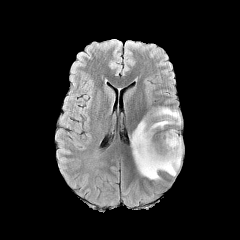
FLAIR MR.
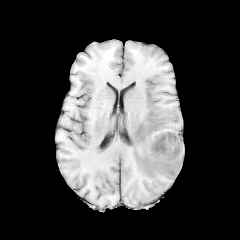
Same slice, T1-weighted magnetic resonance.
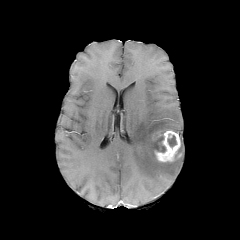
Post-contrast T1-weighted MR image.
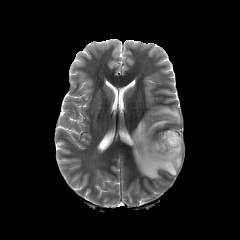
T2-weighted MR.
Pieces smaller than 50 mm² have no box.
peritumoral edema: <box>131,107,181,180</box>, <box>178,136,182,153</box> | necrotic tumor core: <box>168,135,176,146</box> | enhancing tumor: <box>154,130,181,162</box>